Image size 240x240.
FLAIR magnetic resonance.
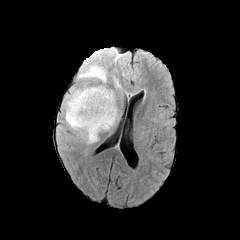
T1-weighted MR image.
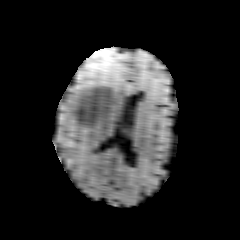
Post-contrast T1-weighted MRI.
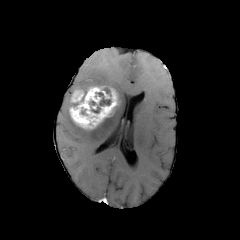
T2-weighted MRI.
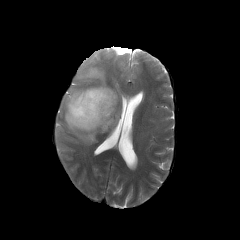
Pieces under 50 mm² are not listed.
necrotic tumor core: 100,98,110,105 | enhancing tumor: 69,85,119,129 | peritumoral edema: 62,85,117,143; 77,66,106,86